240x240 px
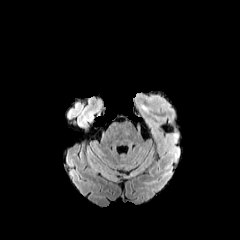
FLAIR MR image.
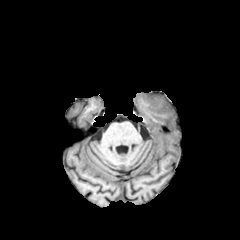
T1-weighted magnetic resonance.
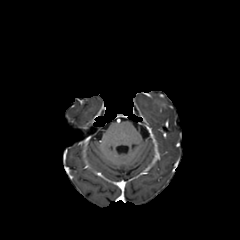
Post-contrast T1-weighted MR.
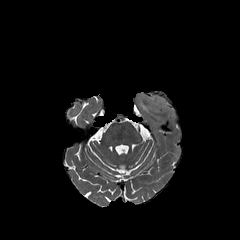
T2-weighted magnetic resonance.
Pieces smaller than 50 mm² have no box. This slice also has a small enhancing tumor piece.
peritumoral edema: <bbox>137, 95, 173, 113</bbox>